Image width 240 mm
FLAIR magnetic resonance.
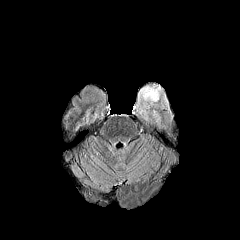
T1-weighted MR image.
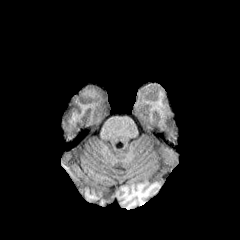
Post-contrast T1-weighted MR image.
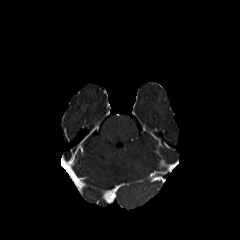
T2-weighted MR image.
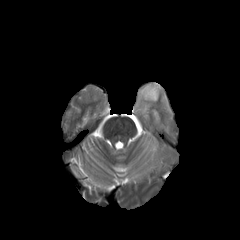
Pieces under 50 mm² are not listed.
Findings:
* peritumoral edema: x1=152, y1=111, x2=160, y2=123; x1=136, y1=85, x2=165, y2=120